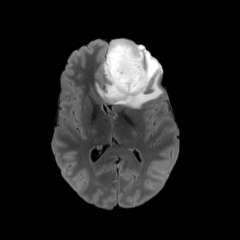
FLAIR MR.
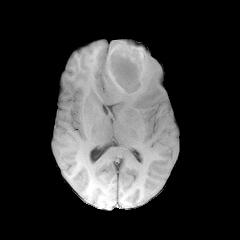
T1-weighted MRI of the same slice.
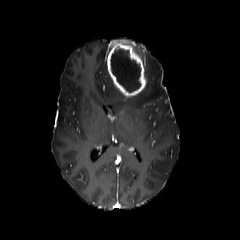
Post-contrast T1-weighted MR.
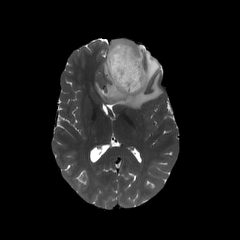
Same slice, T2-weighted MRI.
Head.
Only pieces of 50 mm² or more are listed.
peritumoral edema: bounding box x1=96 y1=45 x2=163 y2=108
enhancing tumor: bounding box x1=106 y1=40 x2=146 y2=97
necrotic tumor core: bounding box x1=110 y1=49 x2=140 y2=92